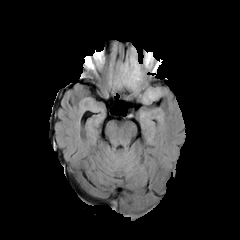
FLAIR MRI.
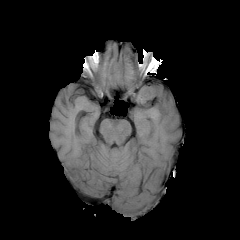
T1-weighted MR.
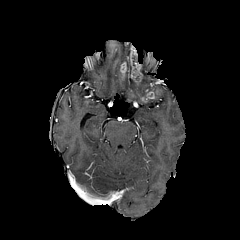
Same slice, post-contrast T1-weighted MRI.
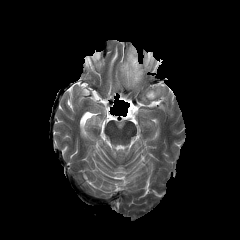
Same slice, T2-weighted magnetic resonance.
Axial view
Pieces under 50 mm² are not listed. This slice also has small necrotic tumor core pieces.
{
  "enhancing_tumor": [
    "l=127, t=46, r=142, b=84",
    "l=141, t=88, r=160, b=101",
    "l=120, t=61, r=129, b=79"
  ],
  "peritumoral_edema": [
    "l=118, t=60, r=140, b=89",
    "l=144, t=52, r=152, b=67"
  ]
}